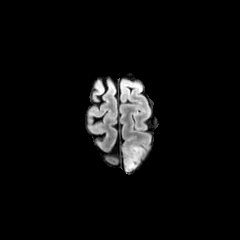
FLAIR MR.
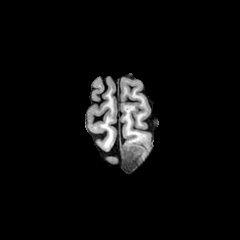
T1-weighted MR image.
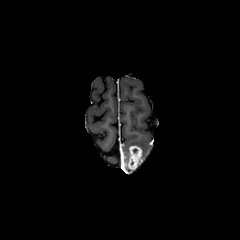
Post-contrast T1-weighted MR image.
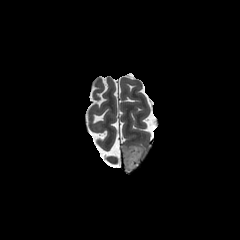
Same slice, T2-weighted MR.
Head; 240x240
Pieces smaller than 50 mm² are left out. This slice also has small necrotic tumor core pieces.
enhancing tumor — bbox(124, 145, 142, 169)
peritumoral edema — bbox(123, 144, 140, 155)